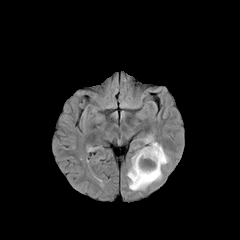
FLAIR magnetic resonance.
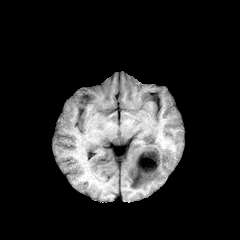
T1-weighted MRI.
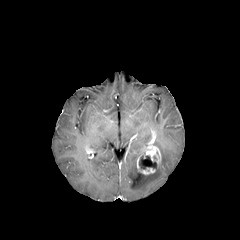
Post-contrast T1-weighted magnetic resonance of the same slice.
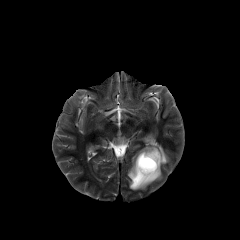
T2-weighted MR.
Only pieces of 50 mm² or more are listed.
peritumoral_edema:
  - {"x1": 144, "y1": 134, "x2": 152, "y2": 143}
  - {"x1": 127, "y1": 142, "x2": 169, "y2": 190}
necrotic_tumor_core:
  - {"x1": 139, "y1": 155, "x2": 157, "y2": 169}
enhancing_tumor:
  - {"x1": 136, "y1": 143, "x2": 161, "y2": 175}